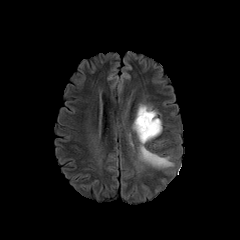
FLAIR MRI.
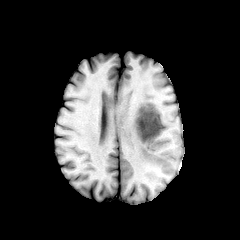
T1-weighted magnetic resonance.
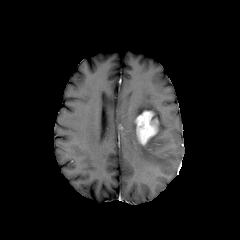
Same slice, post-contrast T1-weighted magnetic resonance.
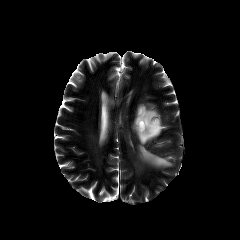
T2-weighted magnetic resonance of the same slice.
Head | Axial slice
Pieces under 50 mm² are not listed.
enhancing_tumor:
  - bbox=[135, 110, 158, 144]
peritumoral_edema:
  - bbox=[138, 143, 173, 167]
  - bbox=[136, 104, 157, 117]
  - bbox=[150, 118, 162, 139]